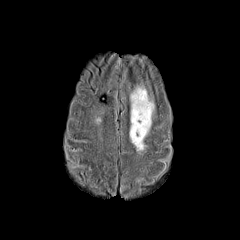
FLAIR MR.
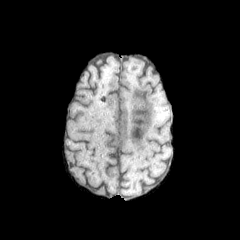
Same slice, T1-weighted magnetic resonance.
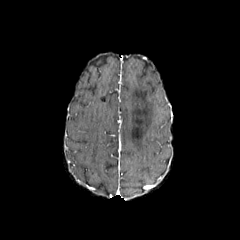
Post-contrast T1-weighted MR image.
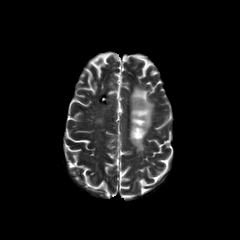
Same slice, T2-weighted MR image.
Axial view | 240x240 px
The peritumoral edema is located at rect(130, 85, 154, 151).